FLAIR MR.
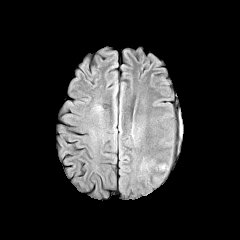
T1-weighted magnetic resonance.
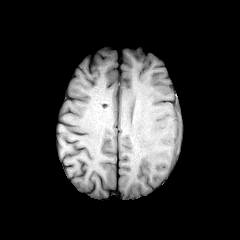
Post-contrast T1-weighted magnetic resonance.
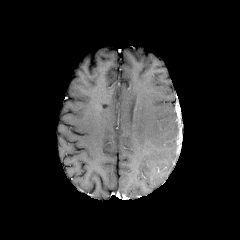
T2-weighted MR.
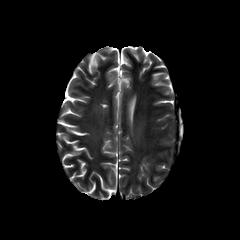
240x240. Head.
The peritumoral edema lies within left=155, top=163, right=170, bottom=173.